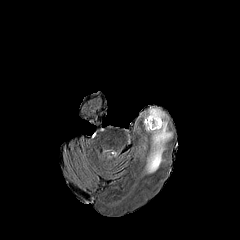
FLAIR magnetic resonance.
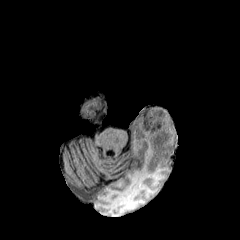
Same slice, T1-weighted magnetic resonance.
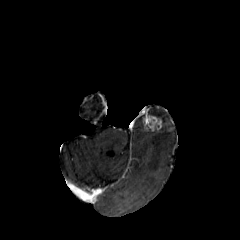
Post-contrast T1-weighted magnetic resonance.
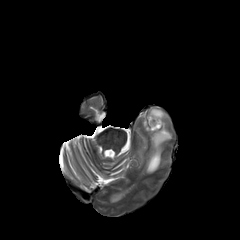
T2-weighted MRI.
240x240 px. Brain.
enhancing tumor — box(143, 114, 161, 131)
peritumoral edema — box(146, 108, 172, 173)